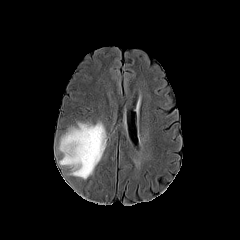
FLAIR MRI.
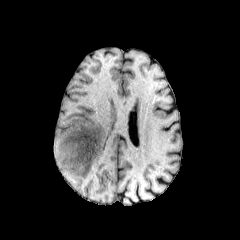
T1-weighted MR.
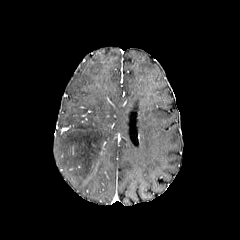
Post-contrast T1-weighted magnetic resonance.
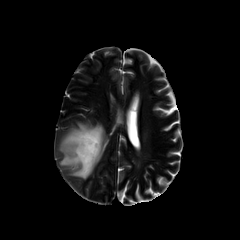
T2-weighted MR image.
peritumoral_edema:
  - bbox=[59, 123, 105, 179]